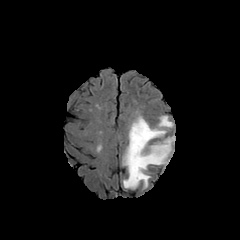
FLAIR MR.
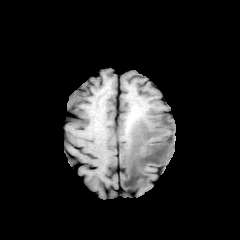
Same slice, T1-weighted MRI.
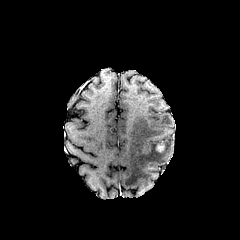
Post-contrast T1-weighted MRI.
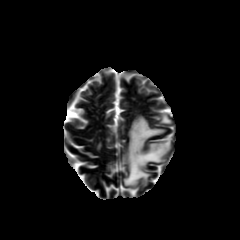
T2-weighted MR.
240x240 px.
{
  "enhancing_tumor": [
    "rect(156, 142, 164, 152)"
  ],
  "peritumoral_edema": [
    "rect(122, 115, 174, 189)"
  ]
}